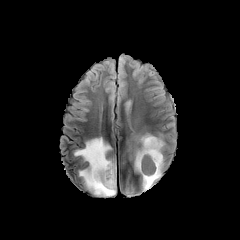
FLAIR MR image.
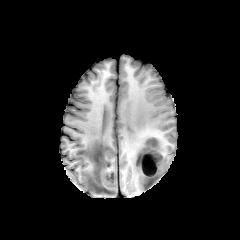
T1-weighted MRI.
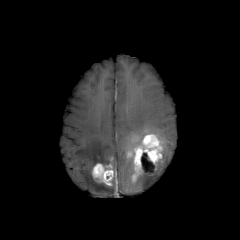
Post-contrast T1-weighted magnetic resonance.
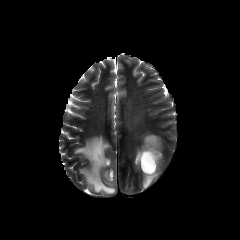
T2-weighted MR image of the same slice.
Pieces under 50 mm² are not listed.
The necrotic tumor core lies within region(141, 153, 155, 172). The 2 largest peritumoral edema regions appear at region(74, 137, 116, 196); region(140, 155, 164, 190). The 2 largest enhancing tumor regions are located at region(91, 163, 114, 185); region(132, 134, 162, 182).